Image covers 240 mm x 240 mm | Brain
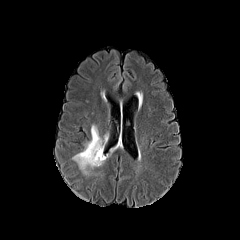
FLAIR MR.
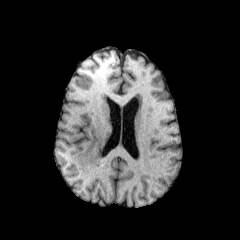
T1-weighted MR image.
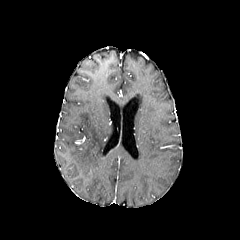
Post-contrast T1-weighted MR.
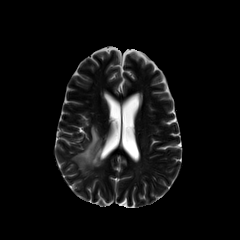
T2-weighted magnetic resonance.
Segmented structures:
* peritumoral edema: bbox(72, 125, 115, 174)